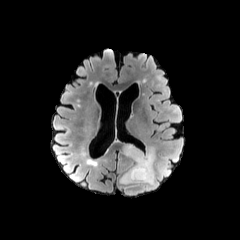
FLAIR MRI.
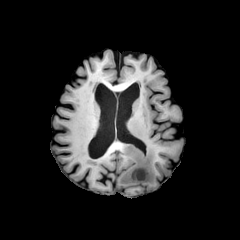
T1-weighted magnetic resonance.
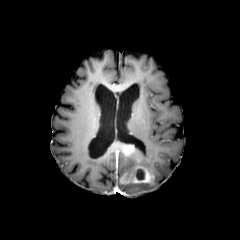
Post-contrast T1-weighted MR image of the same slice.
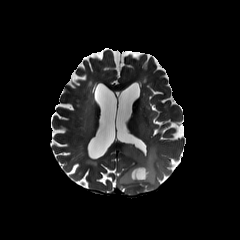
T2-weighted MRI.
Axial plane. Brain.
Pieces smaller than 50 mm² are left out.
necrotic tumor core: (136,169,144,179) | peritumoral edema: (117,144,160,195) | enhancing tumor: (120,145,154,184)